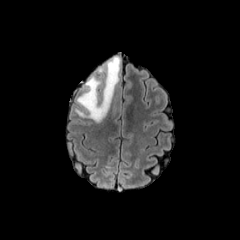
FLAIR magnetic resonance.
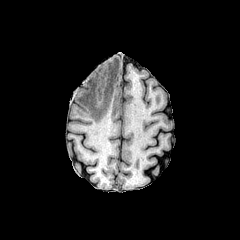
T1-weighted magnetic resonance.
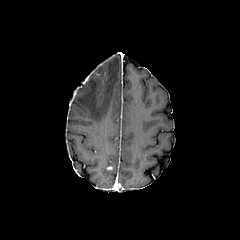
Post-contrast T1-weighted MR image.
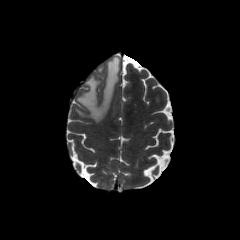
T2-weighted MR.
Brain
{"peritumoral_edema": ["bbox=[76, 57, 120, 122]"]}